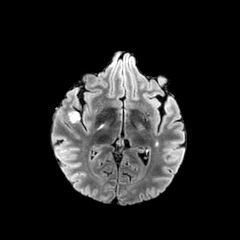
FLAIR MRI.
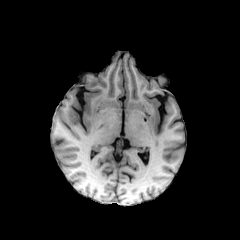
T1-weighted MR.
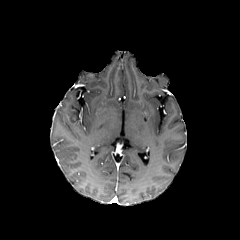
Post-contrast T1-weighted magnetic resonance of the same slice.
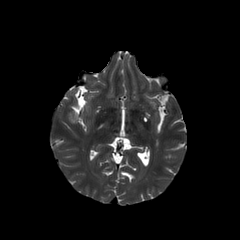
Same slice, T2-weighted MR.
<segmentation>
  <peritumoral_edema>rect(69, 112, 79, 122)</peritumoral_edema>
</segmentation>